Axial slice | Image size 240x240 | Head
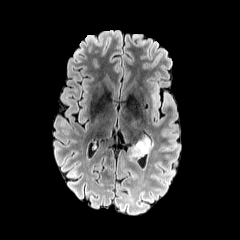
FLAIR magnetic resonance.
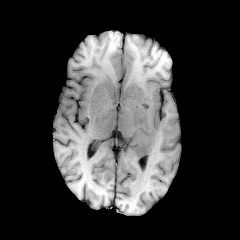
T1-weighted magnetic resonance of the same slice.
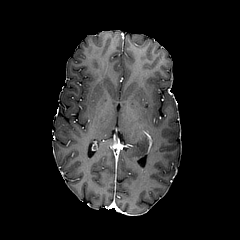
Post-contrast T1-weighted magnetic resonance.
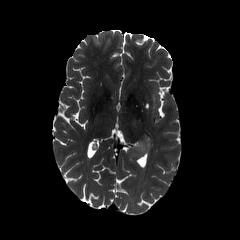
Same slice, T2-weighted MR.
The peritumoral edema appears at 134, 136, 148, 156.